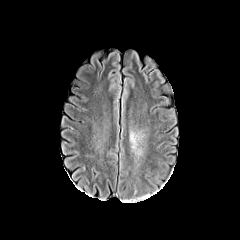
FLAIR MR image.
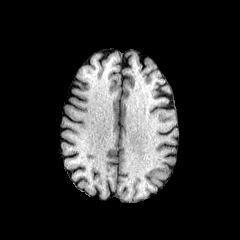
T1-weighted MR image.
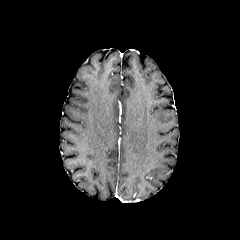
Same slice, post-contrast T1-weighted MR.
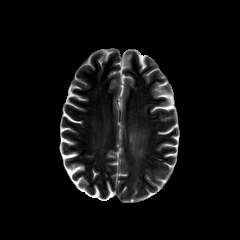
Same slice, T2-weighted MRI.
peritumoral edema: bounding box bbox=[130, 133, 136, 147]